FLAIR MR image.
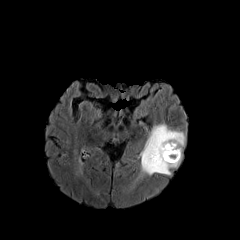
T1-weighted MR.
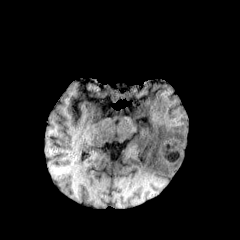
Post-contrast T1-weighted magnetic resonance.
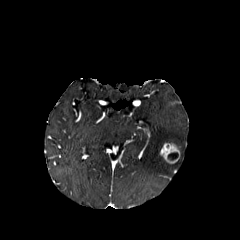
T2-weighted magnetic resonance.
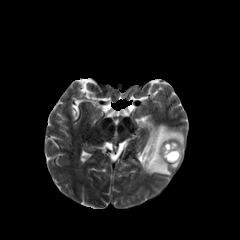
Brain.
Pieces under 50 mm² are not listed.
peritumoral edema: (left=141, top=123, right=185, bottom=175) | enhancing tumor: (left=159, top=143, right=180, bottom=163) | necrotic tumor core: (left=168, top=152, right=178, bottom=160)